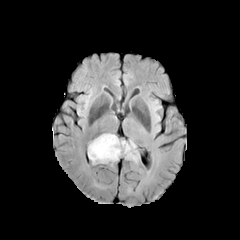
FLAIR MR image.
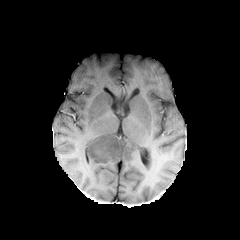
Same slice, T1-weighted magnetic resonance.
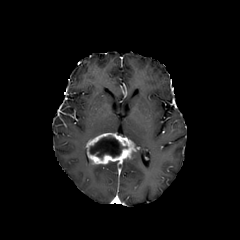
Post-contrast T1-weighted MR.
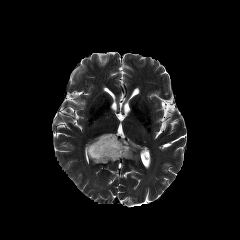
Same slice, T2-weighted magnetic resonance.
Image size 240x240 | Brain | Axial slice
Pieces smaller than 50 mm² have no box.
The enhancing tumor lies within [86, 133, 136, 164]. The necrotic tumor core is bounded by [89, 136, 127, 157]. The largest peritumoral edema region appears at [132, 151, 138, 162].